FLAIR MR image.
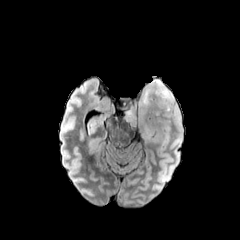
T1-weighted MR image.
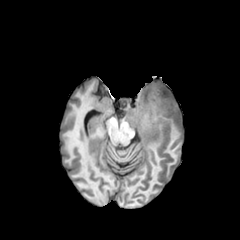
Post-contrast T1-weighted MR.
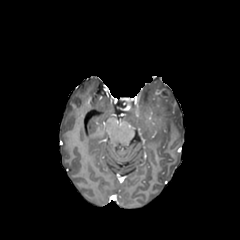
T2-weighted MR.
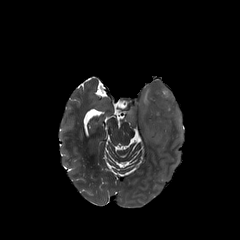
Axial view.
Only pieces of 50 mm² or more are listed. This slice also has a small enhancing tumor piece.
The peritumoral edema is at (left=124, top=79, right=182, bottom=144).